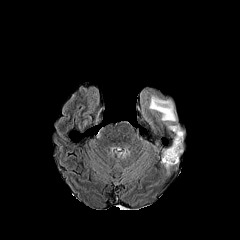
FLAIR magnetic resonance.
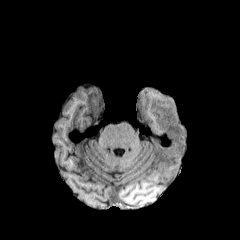
T1-weighted MRI.
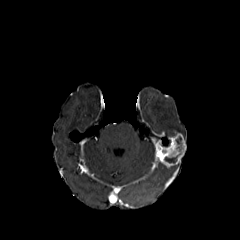
Post-contrast T1-weighted MRI.
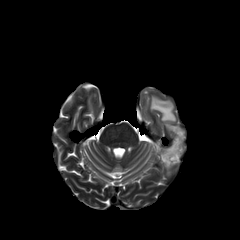
T2-weighted MR image of the same slice.
Head
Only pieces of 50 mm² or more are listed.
The enhancing tumor appears at 157,131,185,167. The largest necrotic tumor core region lies within 165,157,176,162. 2 peritumoral edema regions are located at 166,123,184,134; 149,94,177,121.